Axial slice, 240x240, Image width 240 mm, 1.00 mm slice spacing
FLAIR MRI.
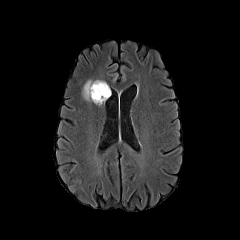
T1-weighted MR image.
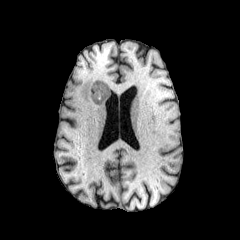
Post-contrast T1-weighted MRI.
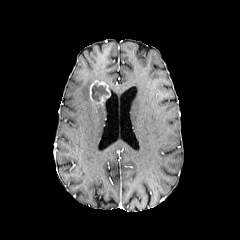
T2-weighted MR.
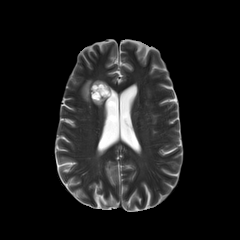
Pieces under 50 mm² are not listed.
{
  "peritumoral_edema": [
    "<box>82,80,93,101</box>"
  ],
  "enhancing_tumor": [
    "<box>90,80,110,104</box>"
  ],
  "necrotic_tumor_core": [
    "<box>92,84,108,101</box>"
  ]
}